Slice 61 of 155, Brain
FLAIR MRI.
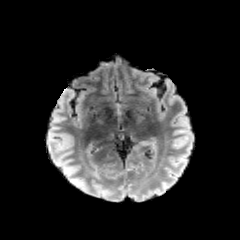
T1-weighted MR.
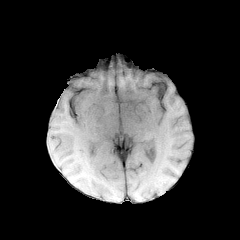
Post-contrast T1-weighted MRI.
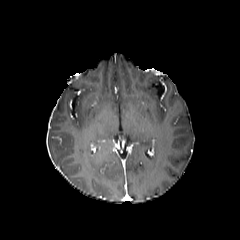
T2-weighted MR image.
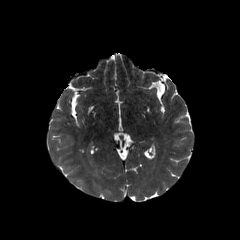
peritumoral edema — x1=93, y1=164, x2=99, y2=178